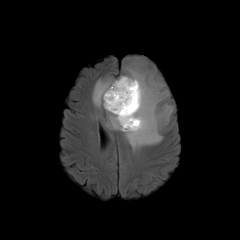
FLAIR MR.
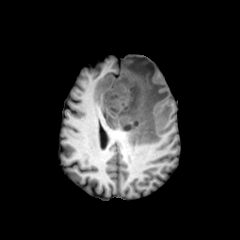
Same slice, T1-weighted MRI.
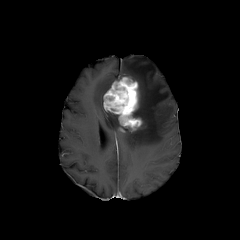
Post-contrast T1-weighted magnetic resonance of the same slice.
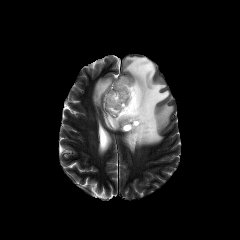
T2-weighted MR.
Head | Axial slice | 240x240
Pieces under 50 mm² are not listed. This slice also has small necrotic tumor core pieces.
2 peritumoral edema regions are bounded by rect(92, 57, 173, 150); rect(105, 111, 122, 130). The enhancing tumor appears at rect(103, 76, 142, 131).